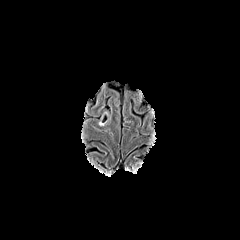
FLAIR MR image.
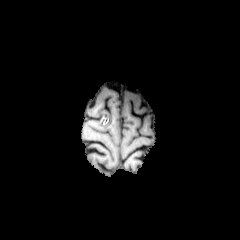
T1-weighted MR image.
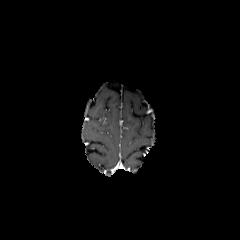
Post-contrast T1-weighted magnetic resonance.
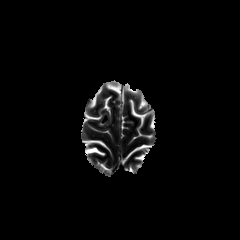
T2-weighted MRI.
Axial slice
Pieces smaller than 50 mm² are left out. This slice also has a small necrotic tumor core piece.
Findings:
* peritumoral edema: (x1=99, y1=113, x2=107, y2=126)